240x240 px, Axial plane
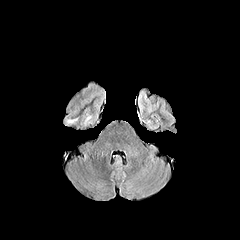
FLAIR MR image.
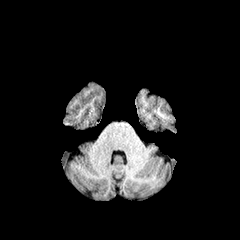
T1-weighted MR of the same slice.
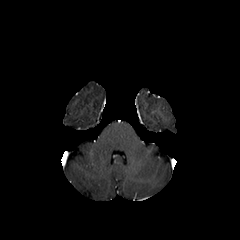
Post-contrast T1-weighted MR image of the same slice.
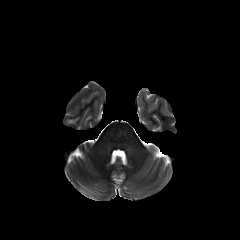
T2-weighted MRI.
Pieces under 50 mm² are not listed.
<segmentation>
  <peritumoral_edema><box>66,118,77,123</box></peritumoral_edema>
</segmentation>